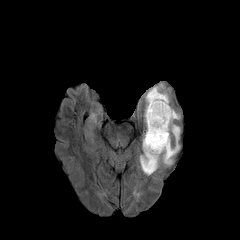
FLAIR magnetic resonance.
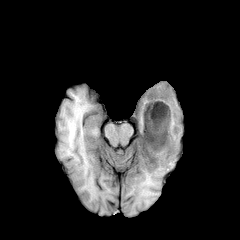
T1-weighted MRI of the same slice.
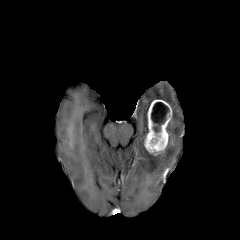
Post-contrast T1-weighted magnetic resonance.
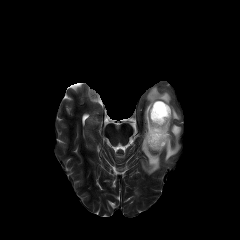
T2-weighted magnetic resonance of the same slice.
Axial view
Annotated regions:
- enhancing tumor: <box>144,99,172,155</box>
- peritumoral edema: <box>140,84,180,174</box>
- necrotic tumor core: <box>151,102,168,132</box>